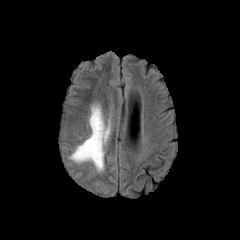
FLAIR MR.
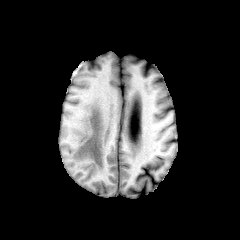
T1-weighted magnetic resonance.
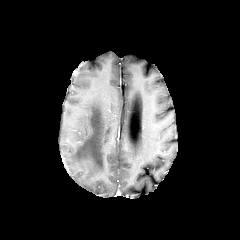
Post-contrast T1-weighted MR image of the same slice.
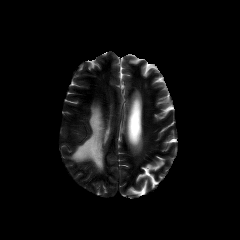
T2-weighted magnetic resonance of the same slice.
240x240 px.
peritumoral edema = (71,105,110,170)